FLAIR magnetic resonance.
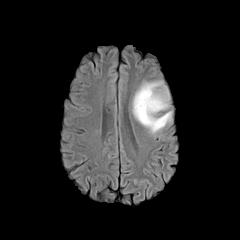
T1-weighted MRI.
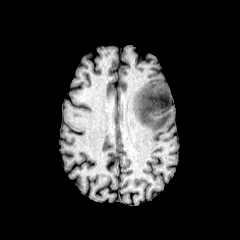
Post-contrast T1-weighted MRI.
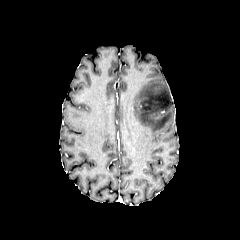
T2-weighted magnetic resonance.
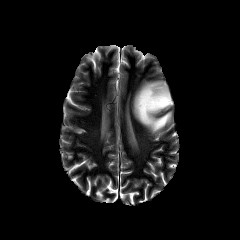
240x240 px | Brain
Findings:
* peritumoral edema: (132, 80, 172, 135)